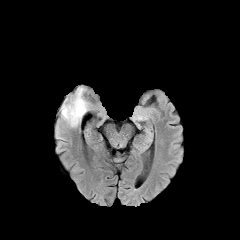
FLAIR MR.
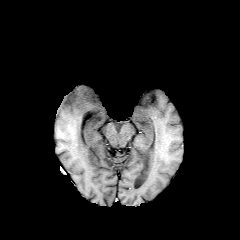
T1-weighted magnetic resonance.
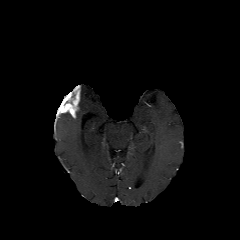
Post-contrast T1-weighted MR image of the same slice.
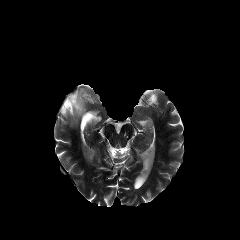
Same slice, T2-weighted magnetic resonance.
Brain. Image size 240x240.
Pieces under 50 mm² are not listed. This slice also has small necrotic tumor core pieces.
{
  "enhancing_tumor": [
    "<bbox>59, 85, 80, 118</bbox>"
  ],
  "peritumoral_edema": [
    "<bbox>57, 86, 90, 127</bbox>"
  ]
}